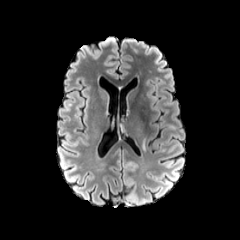
FLAIR MR image.
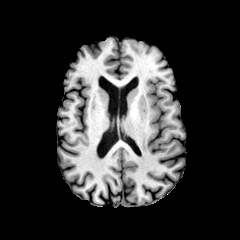
Same slice, T1-weighted MR image.
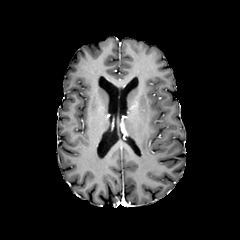
Same slice, post-contrast T1-weighted MR.
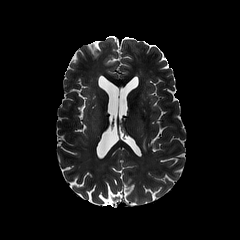
T2-weighted MR.
Head; Image size 240x240
peritumoral edema — (141,138,146,151)